FLAIR magnetic resonance.
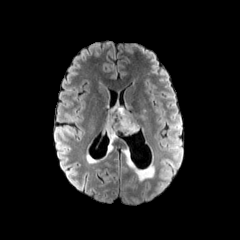
T1-weighted magnetic resonance.
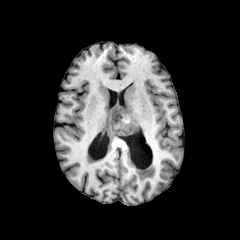
Post-contrast T1-weighted MR image.
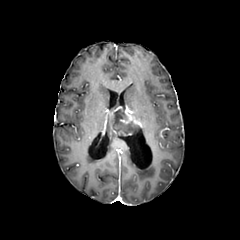
T2-weighted MR.
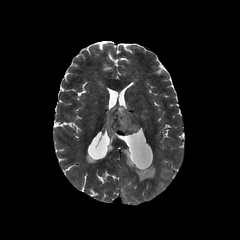
Brain. Axial view. 240x240 px.
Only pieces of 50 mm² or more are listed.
enhancing tumor: region(106, 106, 135, 136); region(120, 104, 139, 130) | necrotic tumor core: region(112, 106, 137, 132) | peritumoral edema: region(106, 120, 115, 142)